FLAIR magnetic resonance.
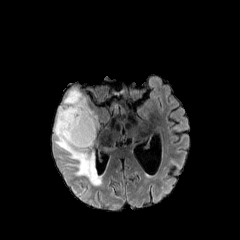
T1-weighted magnetic resonance.
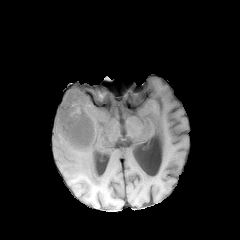
Post-contrast T1-weighted MRI.
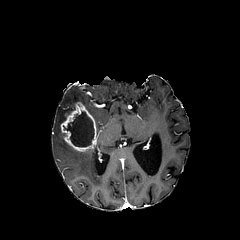
T2-weighted magnetic resonance.
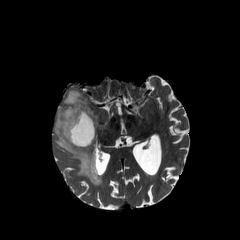
Axial slice.
{"peritumoral_edema": ["left=54, top=88, right=103, bottom=185"], "enhancing_tumor": ["left=60, top=102, right=97, bottom=152"], "necrotic_tumor_core": ["left=63, top=111, right=94, bottom=146"]}